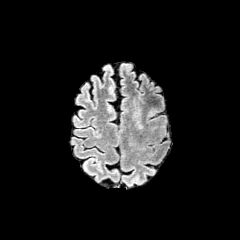
FLAIR MR image.
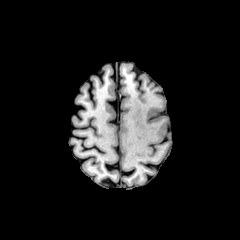
T1-weighted MRI of the same slice.
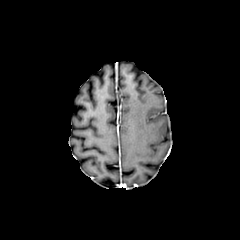
Post-contrast T1-weighted MR image of the same slice.
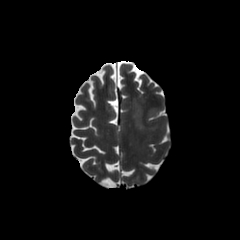
Same slice, T2-weighted MRI.
Brain; Axial plane
The peritumoral edema lies within bbox=[134, 99, 151, 134].